Brain | Slice index 94 | Axial slice
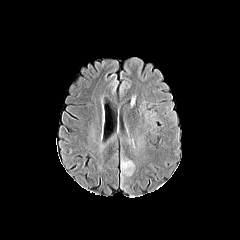
FLAIR MR.
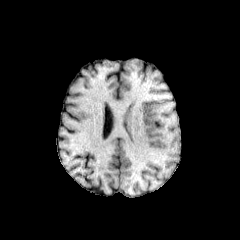
T1-weighted MR.
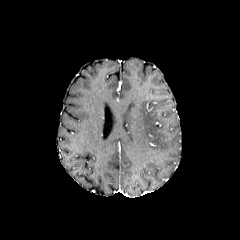
Post-contrast T1-weighted MR of the same slice.
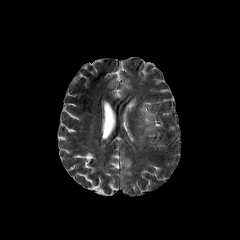
T2-weighted magnetic resonance.
peritumoral_edema:
  - {"x1": 121, "y1": 162, "x2": 134, "y2": 175}